Axial slice.
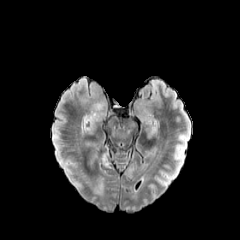
FLAIR MR.
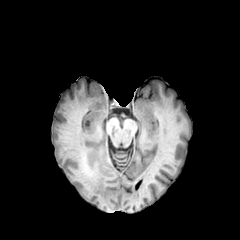
T1-weighted magnetic resonance of the same slice.
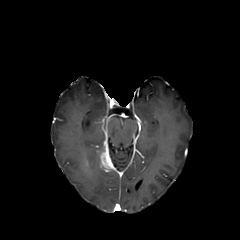
Same slice, post-contrast T1-weighted magnetic resonance.
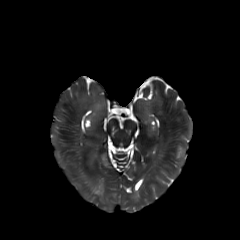
T2-weighted MR.
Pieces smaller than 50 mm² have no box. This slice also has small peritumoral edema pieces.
The enhancing tumor is located at 100, 150, 112, 171.